Axial slice. Slice 91/155.
FLAIR MR.
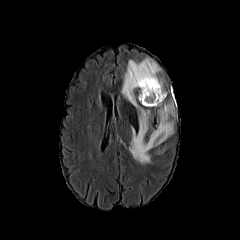
T1-weighted MR image.
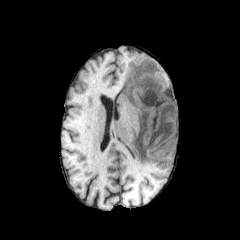
Post-contrast T1-weighted MR.
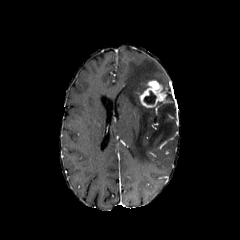
T2-weighted MRI.
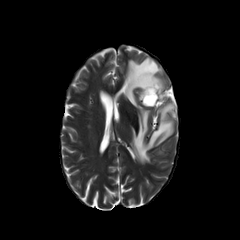
The enhancing tumor lies within (left=139, top=80, right=166, bottom=107). The peritumoral edema is bounded by (left=121, top=57, right=175, bottom=164). The necrotic tumor core lies within (left=144, top=91, right=156, bottom=104).